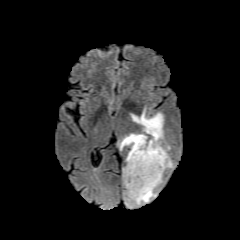
FLAIR magnetic resonance.
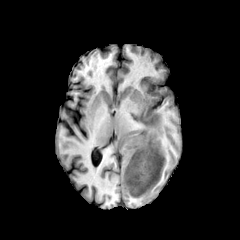
T1-weighted MR.
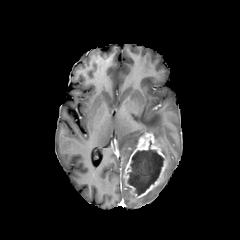
Post-contrast T1-weighted magnetic resonance.
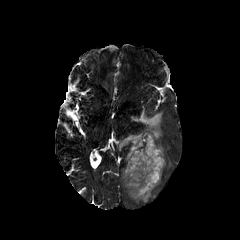
Same slice, T2-weighted MRI.
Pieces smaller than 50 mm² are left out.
The enhancing tumor appears at rect(123, 132, 167, 198). The 3 largest peritumoral edema regions are bounded by rect(162, 145, 172, 167); rect(127, 187, 156, 204); rect(118, 109, 163, 162). The largest necrotic tumor core region appears at rect(128, 148, 164, 195).